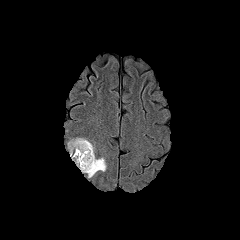
FLAIR MR image.
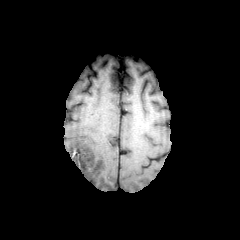
T1-weighted MRI.
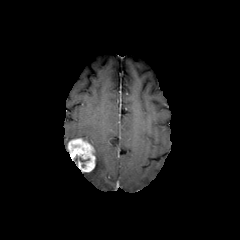
Post-contrast T1-weighted magnetic resonance.
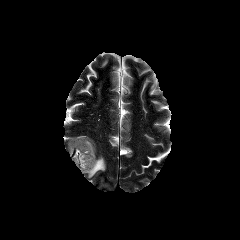
T2-weighted MR image of the same slice.
Brain.
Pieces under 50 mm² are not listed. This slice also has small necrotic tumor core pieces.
peritumoral edema: [87, 157, 106, 177] | enhancing tumor: [68, 138, 95, 172]